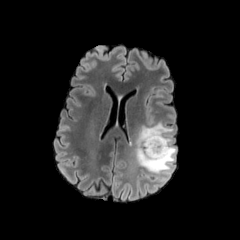
FLAIR MR image.
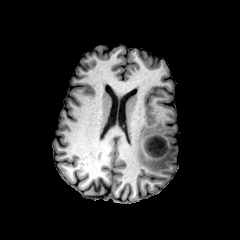
T1-weighted MRI of the same slice.
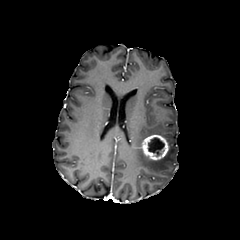
Same slice, post-contrast T1-weighted MR image.
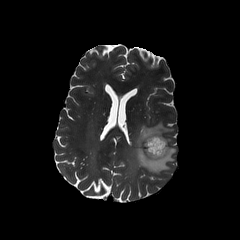
Same slice, T2-weighted MRI.
Head
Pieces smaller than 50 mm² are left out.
{"necrotic_tumor_core": ["147, 137, 164, 157"], "enhancing_tumor": ["141, 134, 168, 160"], "peritumoral_edema": ["135, 121, 176, 173"]}